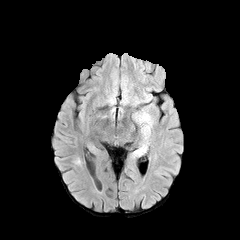
FLAIR MR.
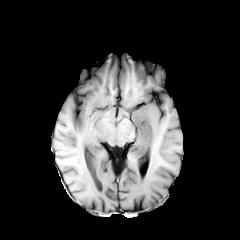
T1-weighted MRI of the same slice.
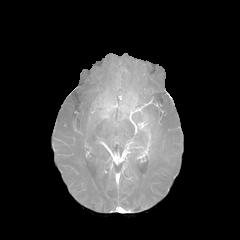
Post-contrast T1-weighted magnetic resonance of the same slice.
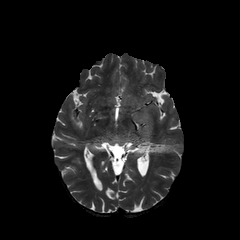
T2-weighted magnetic resonance of the same slice.
240x240 px
peritumoral edema at box(133, 112, 143, 122); box(133, 104, 153, 156)
enhancing tumor at box(135, 110, 150, 144)